FLAIR MR image.
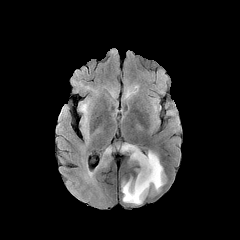
T1-weighted MRI.
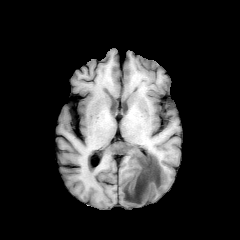
Post-contrast T1-weighted MRI.
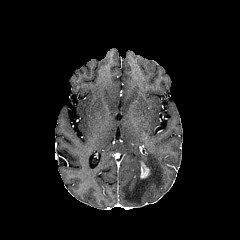
T2-weighted MRI.
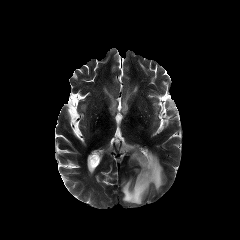
Axial slice
2 peritumoral edema regions are bounded by 81:102:88:114, 121:144:164:204. The enhancing tumor is bounded by 140:161:150:178.